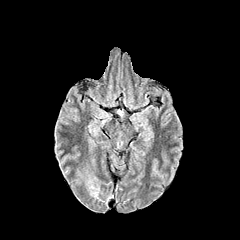
FLAIR MR.
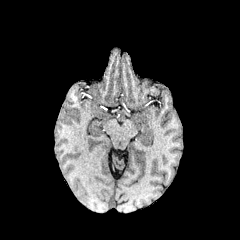
T1-weighted MR.
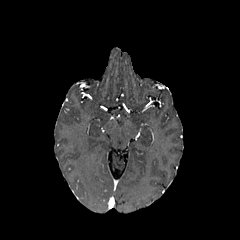
Post-contrast T1-weighted MR.
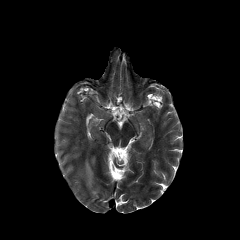
T2-weighted MR of the same slice.
240x240
{
  "peritumoral_edema": [
    "[87,179,98,197]"
  ]
}